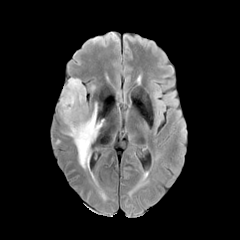
FLAIR MR image.
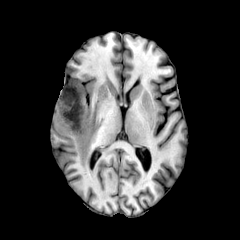
Same slice, T1-weighted MRI.
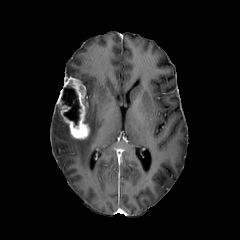
Same slice, post-contrast T1-weighted MRI.
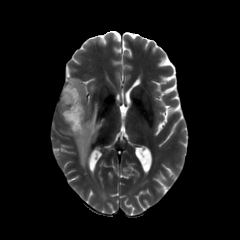
T2-weighted MRI.
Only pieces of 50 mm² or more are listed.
peritumoral edema: 74,103,104,168
necrotic tumor core: 59,85,81,126
enhancing tumor: 60,77,89,139